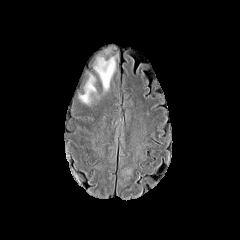
FLAIR MR image.
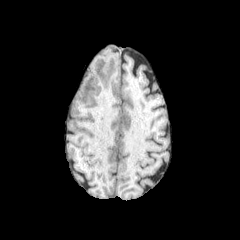
T1-weighted MR of the same slice.
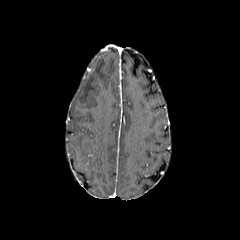
Post-contrast T1-weighted MR image.
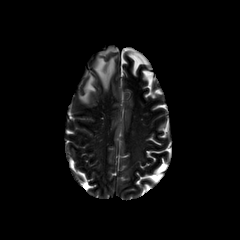
Same slice, T2-weighted magnetic resonance.
Axial plane
peritumoral edema: 79,75,95,103; 94,57,115,90